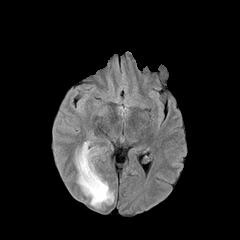
FLAIR MR image.
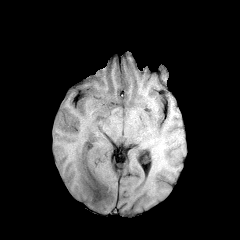
T1-weighted MR.
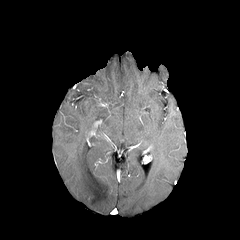
Post-contrast T1-weighted MR image of the same slice.
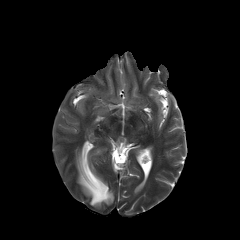
T2-weighted MR image.
Axial view.
peritumoral edema at 76, 142, 114, 207